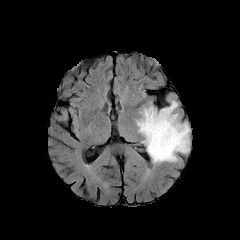
FLAIR MR.
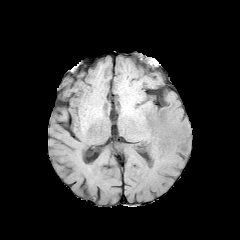
T1-weighted MR.
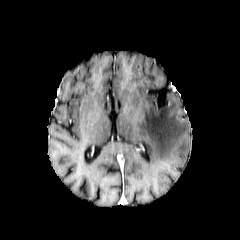
Post-contrast T1-weighted magnetic resonance.
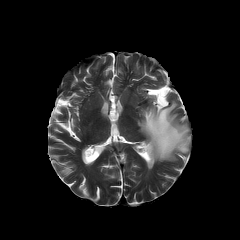
T2-weighted MR.
peritumoral edema: bounding box x1=137, y1=100, x2=190, y2=163